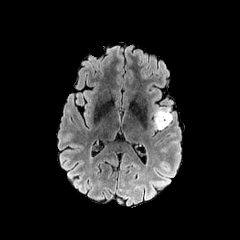
FLAIR MRI.
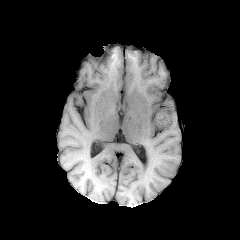
T1-weighted magnetic resonance.
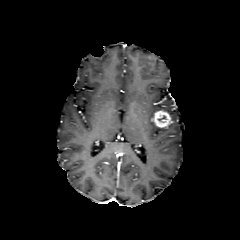
Post-contrast T1-weighted MRI of the same slice.
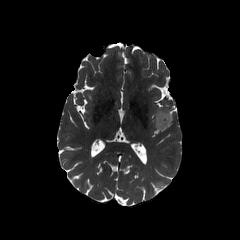
T2-weighted MR image.
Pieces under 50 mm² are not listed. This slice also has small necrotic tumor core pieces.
Annotated regions:
* peritumoral edema: rect(153, 108, 173, 120)
* enhancing tumor: rect(153, 110, 172, 127)